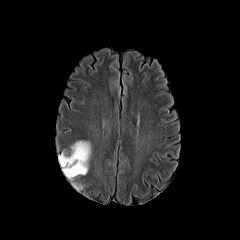
FLAIR MRI.
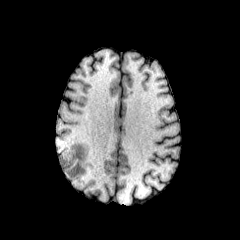
Same slice, T1-weighted MR image.
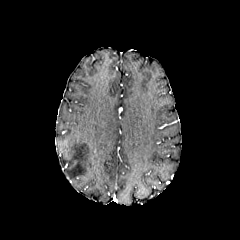
Post-contrast T1-weighted MR image of the same slice.
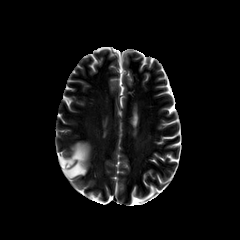
T2-weighted MR.
240x240 px
Segmented structures:
* peritumoral edema: x1=73, y1=181, x2=82, y2=189; x1=58, y1=141, x2=90, y2=179